Slice 72 of 155, Brain, 240x240, Axial plane
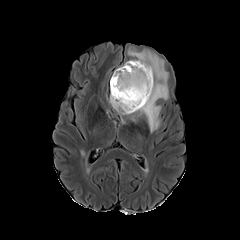
FLAIR MR.
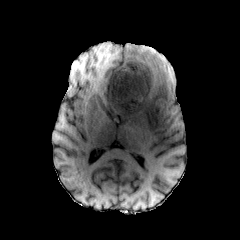
Same slice, T1-weighted MR image.
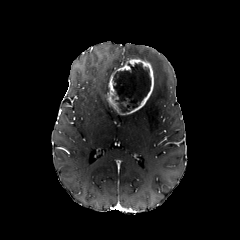
Post-contrast T1-weighted MR.
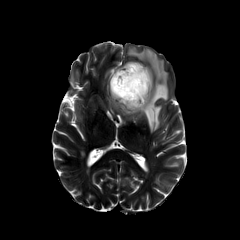
T2-weighted MRI of the same slice.
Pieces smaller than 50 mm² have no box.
{
  "peritumoral_edema": [
    "l=127, t=50, r=168, b=132"
  ],
  "enhancing_tumor": [
    "l=107, t=59, r=153, b=115"
  ],
  "necrotic_tumor_core": [
    "l=113, t=63, r=150, b=112"
  ]
}